FLAIR MR image.
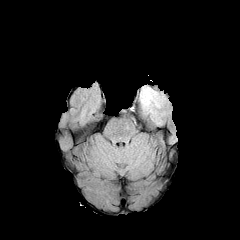
T1-weighted MR.
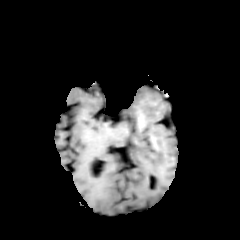
Post-contrast T1-weighted MR image.
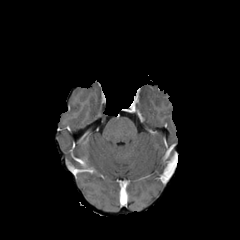
T2-weighted magnetic resonance.
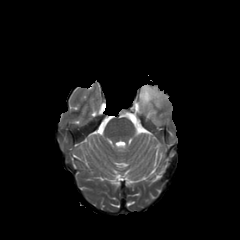
peritumoral edema: bounding box 139, 85, 165, 117